Head, Slice 122 of 155, Image width 240 mm, 1.00 mm slice spacing
FLAIR MR.
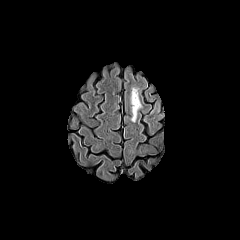
T1-weighted magnetic resonance.
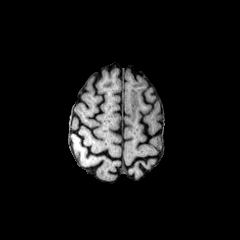
Post-contrast T1-weighted magnetic resonance.
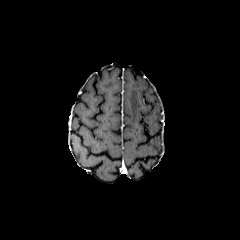
T2-weighted MRI.
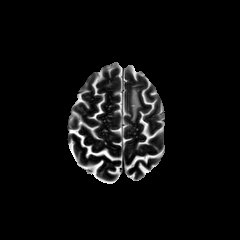
peritumoral edema: box=[130, 87, 141, 122]